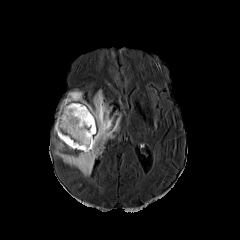
FLAIR MR.
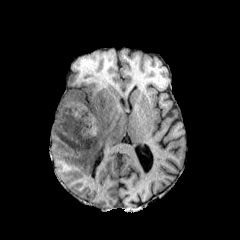
T1-weighted MRI of the same slice.
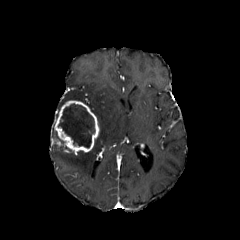
Same slice, post-contrast T1-weighted magnetic resonance.
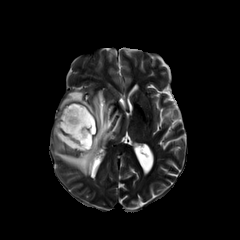
T2-weighted MRI of the same slice.
Axial plane | Brain
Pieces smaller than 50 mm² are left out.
The largest enhancing tumor region appears at bbox(54, 100, 99, 152). The largest peritumoral edema region appears at bbox(55, 90, 121, 176). 2 necrotic tumor core regions are located at bbox(56, 132, 67, 148); bbox(58, 104, 95, 147).